FLAIR MR.
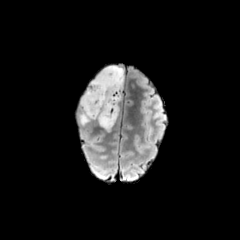
T1-weighted MR image.
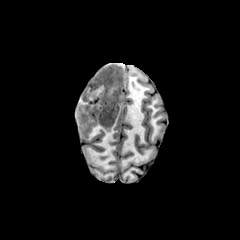
Post-contrast T1-weighted MR.
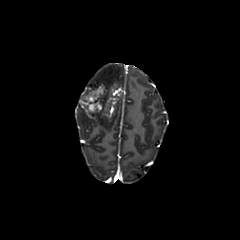
T2-weighted MRI.
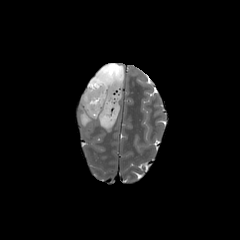
Image size 240x240
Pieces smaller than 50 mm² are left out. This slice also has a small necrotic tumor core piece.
The enhancing tumor lies within x1=80 y1=83 x2=122 y2=119. The 2 largest peritumoral edema regions are bounded by x1=79 y1=102 x2=119 y2=131, x1=89 y1=65 x2=124 y2=89.